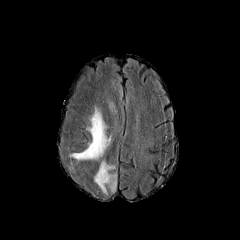
FLAIR MRI.
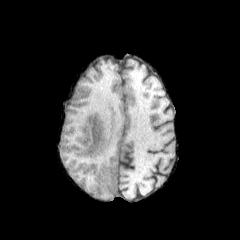
Same slice, T1-weighted magnetic resonance.
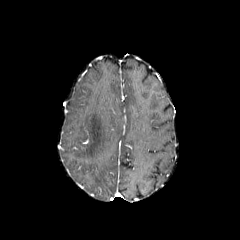
Same slice, post-contrast T1-weighted MR.
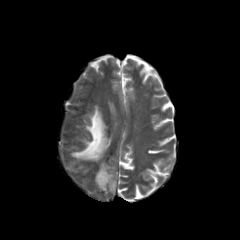
T2-weighted MRI of the same slice.
Head
peritumoral edema: 93,160,117,194; 69,105,110,160